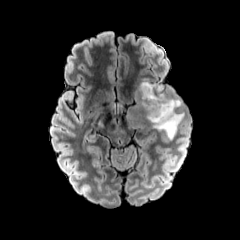
FLAIR MR.
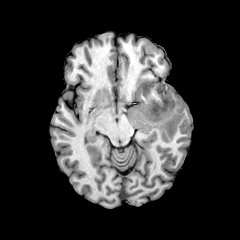
T1-weighted MR.
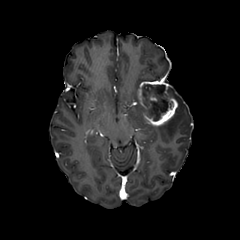
Post-contrast T1-weighted MR image.
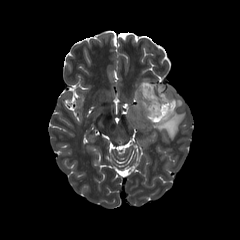
T2-weighted MR.
Axial slice.
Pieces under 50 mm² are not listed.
enhancing tumor: (left=137, top=80, right=177, bottom=125) | peritumoral edema: (left=134, top=82, right=142, bottom=110), (left=152, top=86, right=184, bottom=139) | necrotic tumor core: (left=142, top=84, right=168, bottom=120)